Slice 96/155 | Brain
FLAIR MR image.
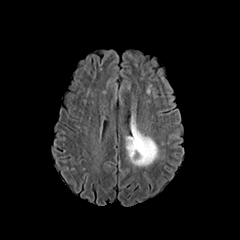
T1-weighted MRI.
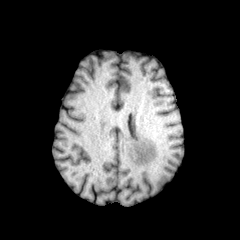
Post-contrast T1-weighted MR.
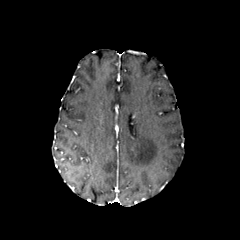
T2-weighted MR image.
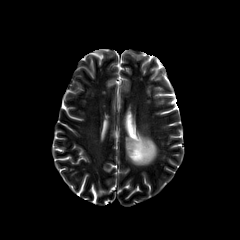
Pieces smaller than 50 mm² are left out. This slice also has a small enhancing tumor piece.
Annotated regions:
- peritumoral edema: (125,119,158,166)